Axial slice | Brain | Slice index 110
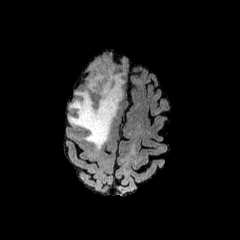
FLAIR MR image.
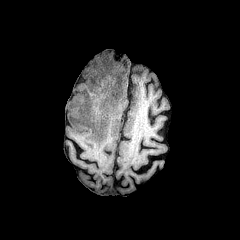
T1-weighted MRI.
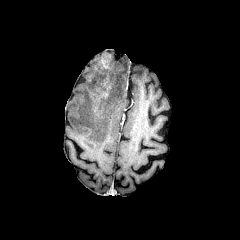
Post-contrast T1-weighted magnetic resonance of the same slice.
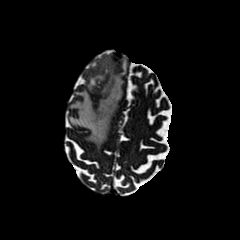
T2-weighted MR image.
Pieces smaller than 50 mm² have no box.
peritumoral_edema:
  - (68,57,125,149)
enhancing_tumor:
  - (98,54,111,69)